Brain, Slice 109/155
FLAIR MR.
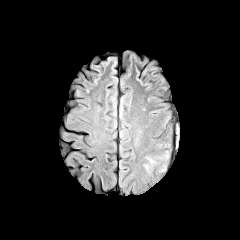
T1-weighted magnetic resonance.
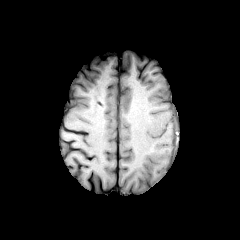
Post-contrast T1-weighted MR.
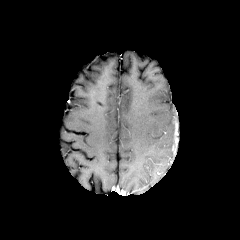
T2-weighted magnetic resonance.
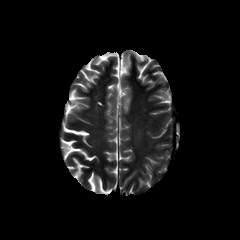
{"peritumoral_edema": ["[158, 150, 170, 175]", "[143, 155, 158, 174]"]}